Image size 240x240 | Brain | Slice index 77 | Image covers 240 mm x 240 mm | Axial plane
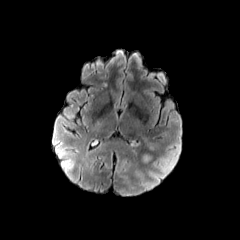
FLAIR magnetic resonance.
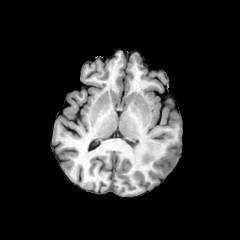
Same slice, T1-weighted MR image.
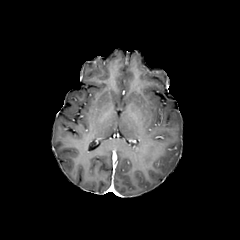
Same slice, post-contrast T1-weighted MRI.
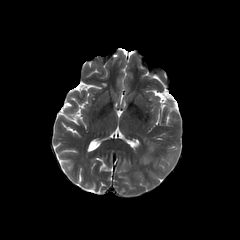
T2-weighted MR.
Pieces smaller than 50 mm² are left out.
The largest peritumoral edema region is located at [142,155,151,162].